Axial view, Image width 240 mm, Slice index 83
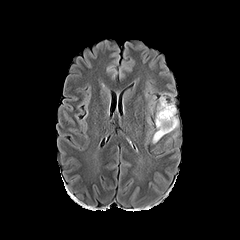
FLAIR MRI.
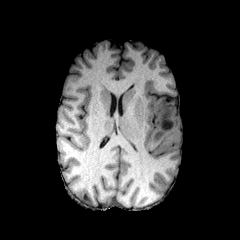
Same slice, T1-weighted MRI.
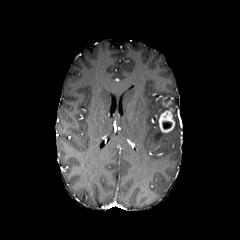
Post-contrast T1-weighted MRI.
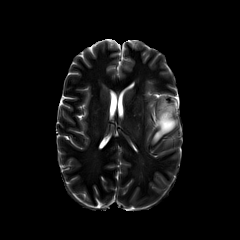
T2-weighted magnetic resonance.
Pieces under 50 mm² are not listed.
enhancing tumor: rect(158, 108, 175, 132)
peritumoral edema: rect(152, 96, 178, 143)
necrotic tumor core: rect(162, 122, 171, 129)